FLAIR MR image.
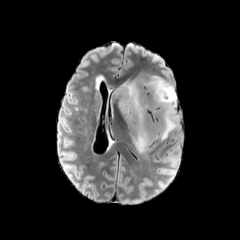
T1-weighted MR image.
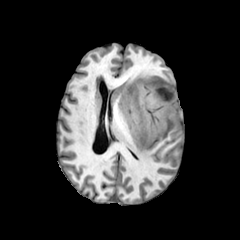
Post-contrast T1-weighted MR.
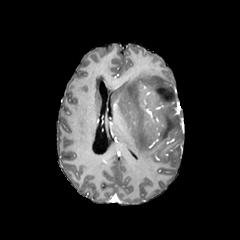
T2-weighted MRI.
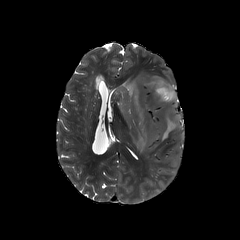
Head, Axial plane
Findings:
- peritumoral edema: x1=114, y1=74, x2=178, y2=153